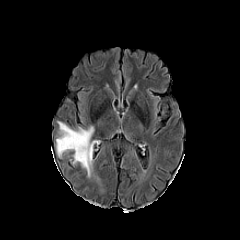
FLAIR MR.
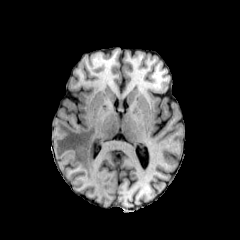
T1-weighted MR image of the same slice.
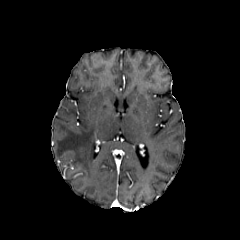
Post-contrast T1-weighted MR image.
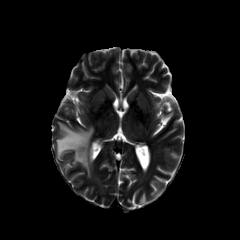
T2-weighted MR.
Brain; Axial slice
peritumoral edema — 56:121:94:177